Image width 240 mm. Axial plane.
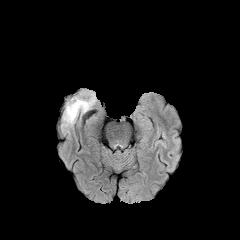
FLAIR MR.
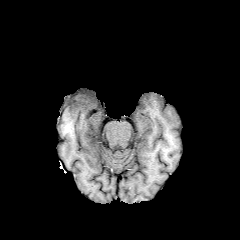
Same slice, T1-weighted MR.
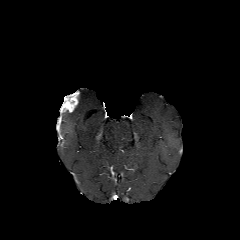
Post-contrast T1-weighted MR image.
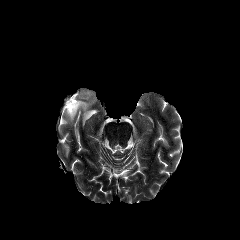
T2-weighted MRI.
peritumoral edema: bounding box x1=61 y1=89 x2=97 y2=129
enhancing tumor: bounding box x1=62 y1=91 x2=79 y2=112